Slice 104/155 | Axial plane
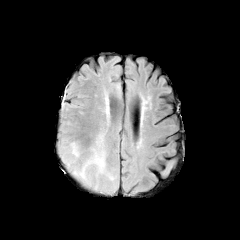
FLAIR magnetic resonance.
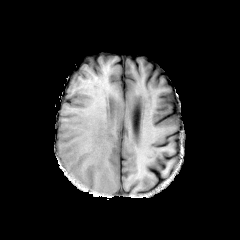
T1-weighted MR.
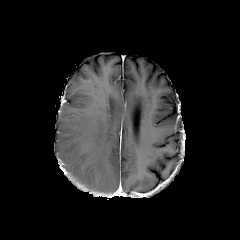
Post-contrast T1-weighted MR image of the same slice.
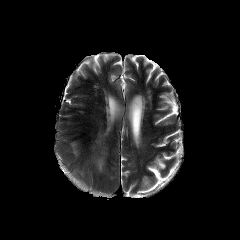
T2-weighted MR image.
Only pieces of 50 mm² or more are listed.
<segmentation>
  <peritumoral_edema>l=94, t=157, r=104, b=170</peritumoral_edema>
</segmentation>